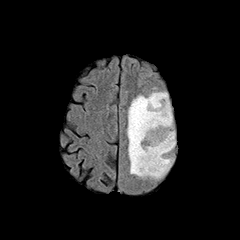
FLAIR MR image.
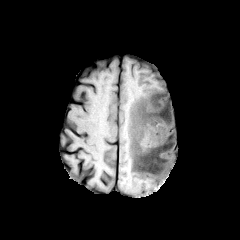
T1-weighted MR image.
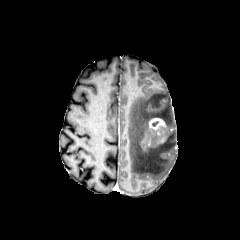
Post-contrast T1-weighted MR.
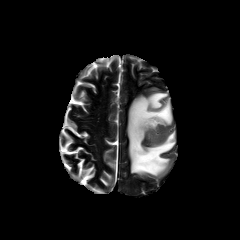
T2-weighted MR image.
Image size 240x240; Head
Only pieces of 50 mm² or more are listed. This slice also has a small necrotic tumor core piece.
enhancing tumor: bounding box (149, 118, 165, 130)
peritumoral edema: bounding box (127, 91, 175, 179)